Brain | Axial plane
FLAIR MR image.
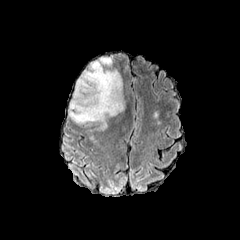
T1-weighted magnetic resonance.
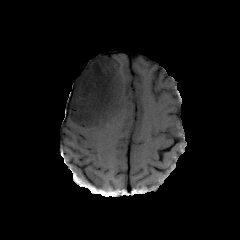
Post-contrast T1-weighted MR image.
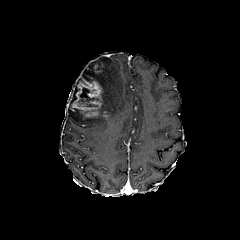
T2-weighted MR.
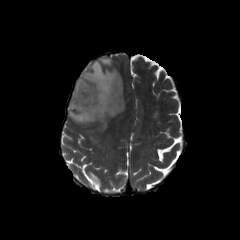
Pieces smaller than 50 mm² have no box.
peritumoral edema = left=68, top=57, right=124, bottom=130
enhancing tumor = left=71, top=77, right=103, bottom=118; left=93, top=64, right=102, bottom=72
necrotic tumor core = left=78, top=87, right=98, bottom=102